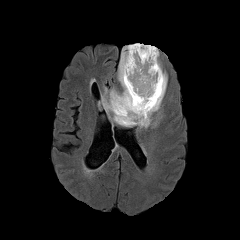
FLAIR MR.
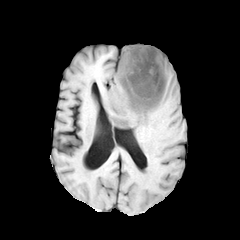
T1-weighted MR image.
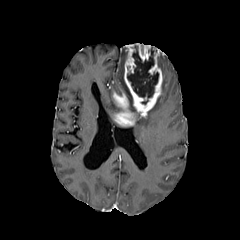
Same slice, post-contrast T1-weighted MR image.
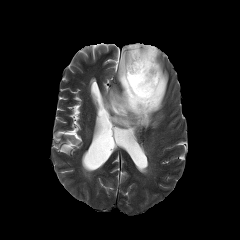
T2-weighted MR image of the same slice.
Head
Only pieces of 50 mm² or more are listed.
enhancing tumor — <box>112,43,163,126</box>
necrotic tumor core — <box>127,46,158,98</box>
peritumoral edema — <box>117,46,127,92</box>, <box>134,57,167,128</box>, <box>102,88,121,121</box>